FLAIR magnetic resonance.
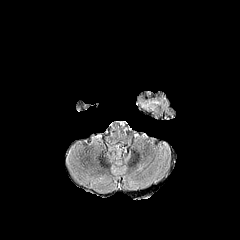
T1-weighted MR image.
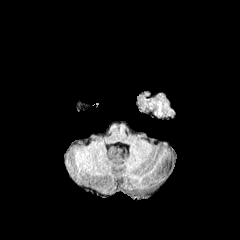
Post-contrast T1-weighted MRI.
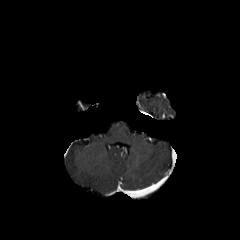
T2-weighted MRI.
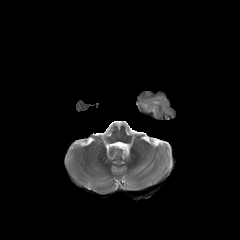
Brain, Axial plane
The peritumoral edema appears at x1=139 y1=95 x2=168 y2=116.